Image width 240 mm, 1.00 mm slice spacing. Brain. 240x240.
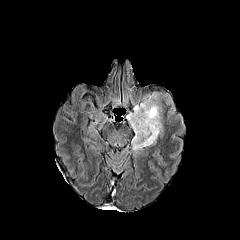
FLAIR MRI.
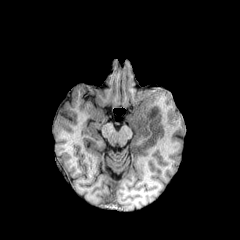
T1-weighted MR.
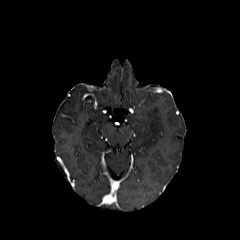
Same slice, post-contrast T1-weighted MR image.
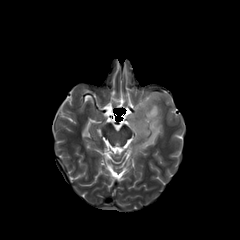
Same slice, T2-weighted MRI.
Annotated regions:
- peritumoral edema: (127,93,162,149)